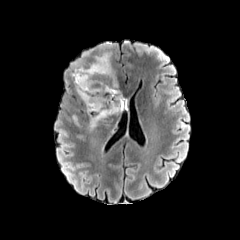
FLAIR MR.
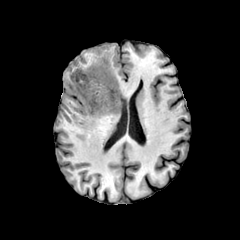
T1-weighted magnetic resonance of the same slice.
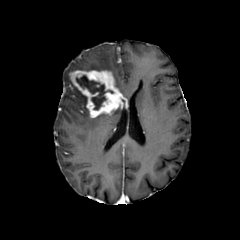
Same slice, post-contrast T1-weighted MRI.
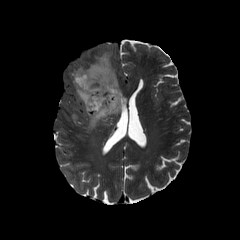
Same slice, T2-weighted MRI.
Head
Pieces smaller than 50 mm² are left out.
The necrotic tumor core is bounded by box(76, 75, 113, 109). The 3 largest peritumoral edema regions are bounded by box(88, 114, 112, 129); box(73, 52, 118, 88); box(73, 85, 87, 105). The largest enhancing tumor region appears at box(70, 70, 127, 117).